FLAIR MR.
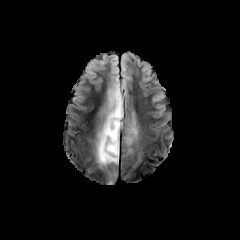
T1-weighted MRI.
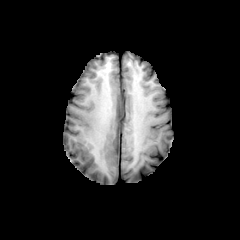
Post-contrast T1-weighted MR.
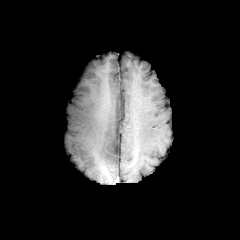
T2-weighted MR image.
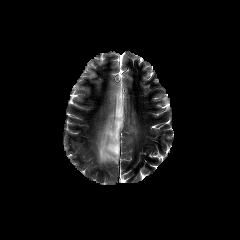
Axial slice
peritumoral edema = [x1=97, y1=102, x2=123, y2=164]